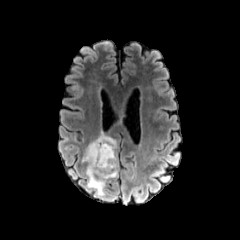
FLAIR MR image.
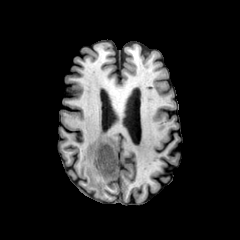
T1-weighted MRI of the same slice.
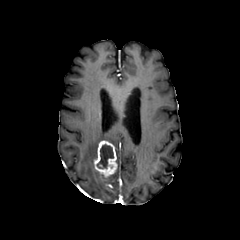
Post-contrast T1-weighted magnetic resonance of the same slice.
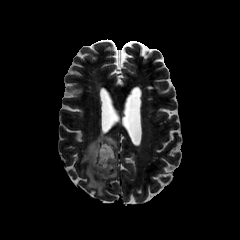
Same slice, T2-weighted magnetic resonance.
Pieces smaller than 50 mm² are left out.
The peritumoral edema is located at (left=81, top=133, right=118, bottom=196). The necrotic tumor core appears at (left=97, top=144, right=113, bottom=168). The largest enhancing tumor region is at (left=93, top=140, right=117, bottom=178).